FLAIR MR.
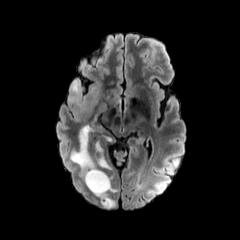
T1-weighted MR.
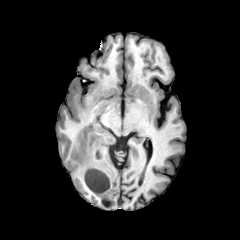
Post-contrast T1-weighted magnetic resonance.
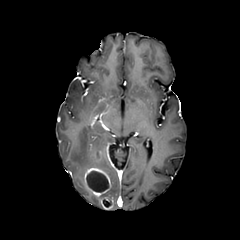
T2-weighted MRI.
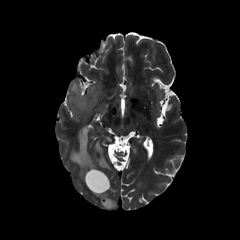
Head
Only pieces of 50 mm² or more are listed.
{
  "necrotic_tumor_core": [
    "<bbox>86, 171, 108, 192</bbox>",
    "<bbox>103, 200, 111, 207</bbox>"
  ],
  "peritumoral_edema": [
    "<bbox>68, 79, 101, 121</bbox>",
    "<bbox>71, 126, 111, 177</bbox>"
  ],
  "enhancing_tumor": [
    "<bbox>84, 167, 111, 197</bbox>",
    "<bbox>100, 197, 113, 208</bbox>"
  ]
}